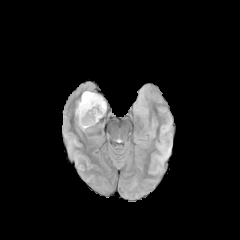
FLAIR MR image.
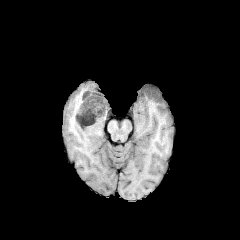
T1-weighted MRI of the same slice.
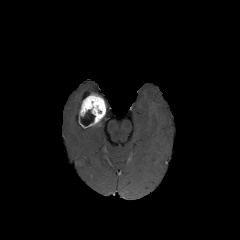
Post-contrast T1-weighted MRI.
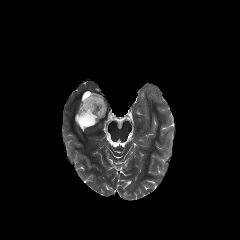
T2-weighted magnetic resonance of the same slice.
Head, 240x240, Axial slice
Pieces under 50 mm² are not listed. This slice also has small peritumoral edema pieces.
enhancing tumor: box=[79, 93, 106, 127]
necrotic tumor core: box=[80, 110, 95, 125]